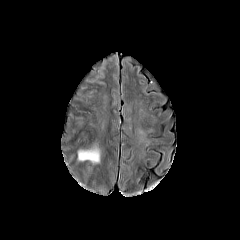
FLAIR magnetic resonance.
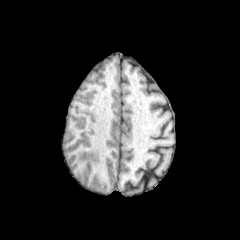
Same slice, T1-weighted MRI.
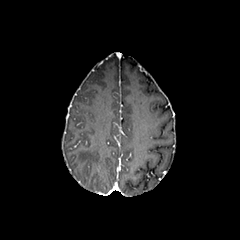
Post-contrast T1-weighted MRI.
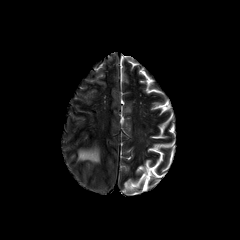
Same slice, T2-weighted magnetic resonance.
Head. Axial view.
Annotated regions:
• peritumoral edema: <bbox>78, 147, 99, 162</bbox>